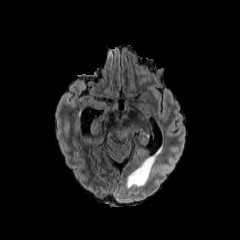
FLAIR MR image.
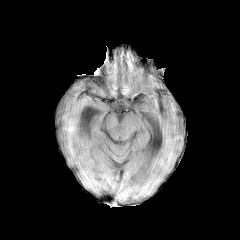
T1-weighted MR image.
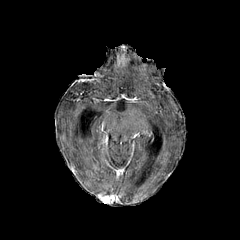
Same slice, post-contrast T1-weighted magnetic resonance.
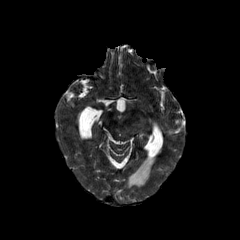
T2-weighted MRI of the same slice.
240x240 px; Head
{"peritumoral_edema": ["<bbox>118, 124, 137, 140</bbox>"]}